Axial view | Slice 55/155 | 240x240 px
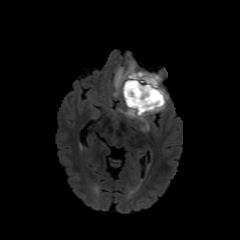
FLAIR MR.
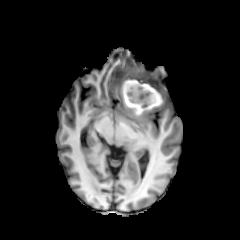
T1-weighted MRI.
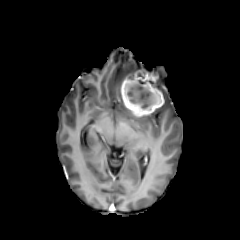
Post-contrast T1-weighted magnetic resonance of the same slice.
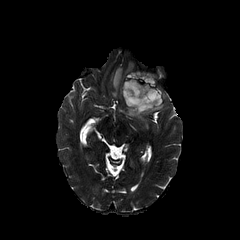
T2-weighted MRI of the same slice.
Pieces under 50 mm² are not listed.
The enhancing tumor is bounded by 121,70,164,116. The 3 largest peritumoral edema regions are bounded by 113,61,135,96; 154,75,168,111; 118,108,148,130. The largest necrotic tumor core region is located at 125,80,160,110.